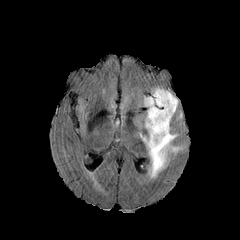
FLAIR magnetic resonance.
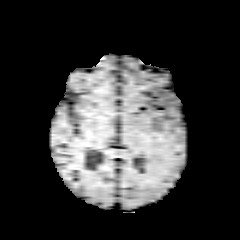
T1-weighted magnetic resonance.
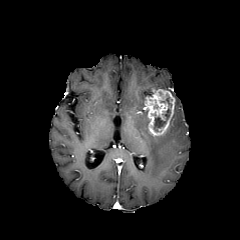
Post-contrast T1-weighted MR of the same slice.
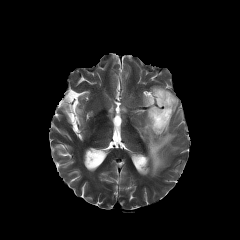
T2-weighted MRI.
240x240 px; Axial slice
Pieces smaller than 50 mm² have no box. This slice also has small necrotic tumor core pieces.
peritumoral edema — 140, 115, 180, 177
enhancing tumor — 145, 89, 175, 136